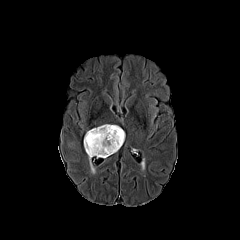
FLAIR MR image.
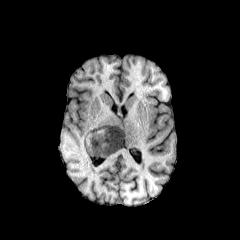
Same slice, T1-weighted MR image.
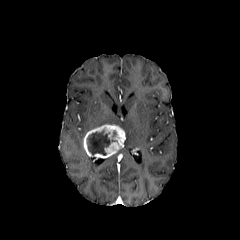
Post-contrast T1-weighted magnetic resonance.
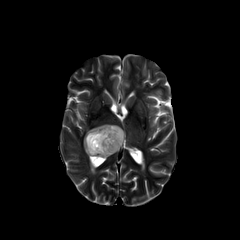
T2-weighted MR.
Axial slice
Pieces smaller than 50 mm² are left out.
necrotic_tumor_core:
  - bbox(87, 130, 110, 155)
peritumoral_edema:
  - bbox(88, 156, 95, 173)
enhancing_tumor:
  - bbox(83, 124, 125, 158)